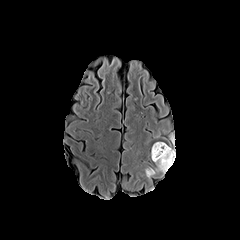
FLAIR magnetic resonance.
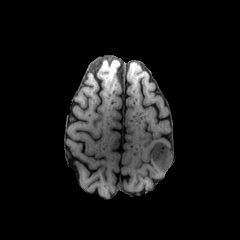
Same slice, T1-weighted MRI.
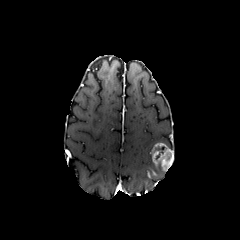
Post-contrast T1-weighted magnetic resonance of the same slice.
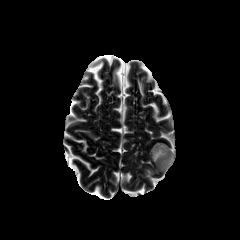
T2-weighted magnetic resonance.
Axial view | Head
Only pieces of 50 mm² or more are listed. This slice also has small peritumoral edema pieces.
enhancing tumor at {"x1": 151, "y1": 142, "x2": 173, "y2": 171}
necrotic tumor core at {"x1": 155, "y1": 146, "x2": 164, "y2": 159}